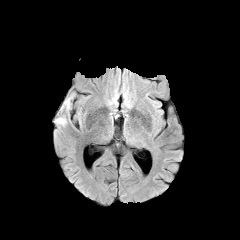
FLAIR MR.
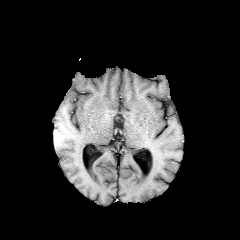
T1-weighted magnetic resonance of the same slice.
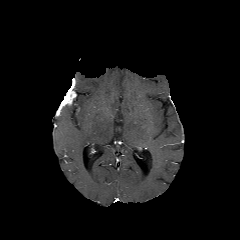
Post-contrast T1-weighted MR image of the same slice.
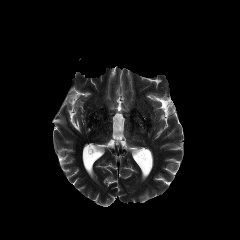
T2-weighted MR.
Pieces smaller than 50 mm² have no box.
* enhancing tumor: 56:78:76:115
* peritumoral edema: 54:117:66:125